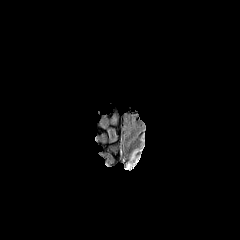
FLAIR magnetic resonance.
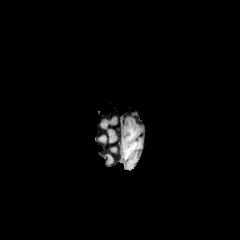
T1-weighted MRI.
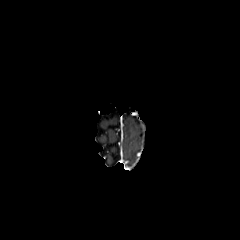
Post-contrast T1-weighted MRI.
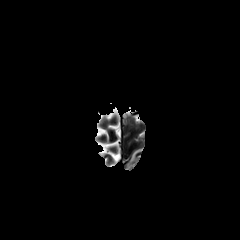
T2-weighted MRI.
Brain
peritumoral edema: [130, 148, 139, 160]